Axial view.
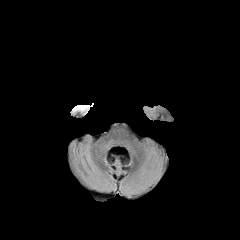
FLAIR magnetic resonance.
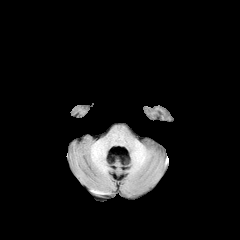
Same slice, T1-weighted magnetic resonance.
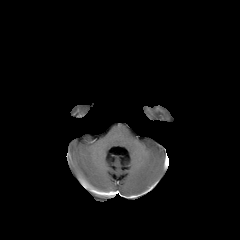
Post-contrast T1-weighted MR image.
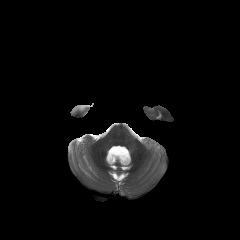
T2-weighted MR image.
peritumoral edema: bounding box box=[72, 104, 92, 111]